FLAIR MR image.
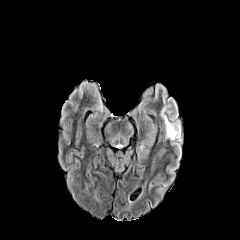
T1-weighted MR image.
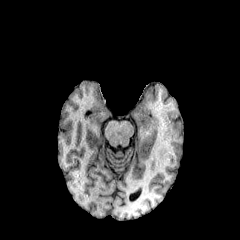
Post-contrast T1-weighted magnetic resonance.
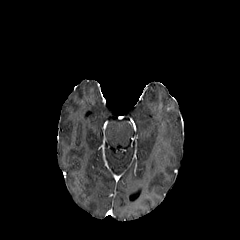
T2-weighted MRI.
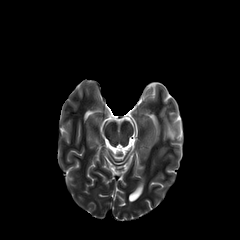
Axial slice | 240x240 | Brain
peritumoral edema: [x1=161, y1=108, x2=180, y2=140]